FLAIR MR.
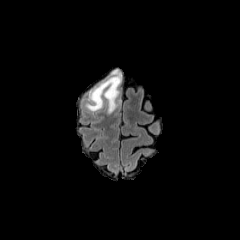
T1-weighted MR image.
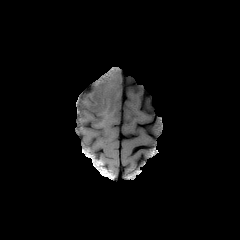
Post-contrast T1-weighted MR image.
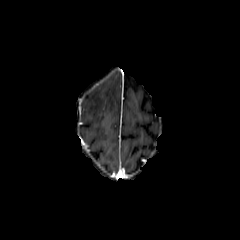
T2-weighted magnetic resonance.
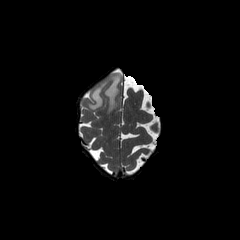
240x240 px. Brain.
The peritumoral edema lies within (x1=86, y1=69, x2=121, y2=113).